FLAIR MR.
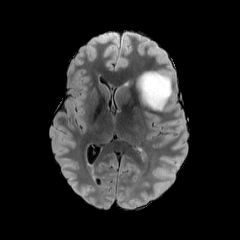
T1-weighted MR.
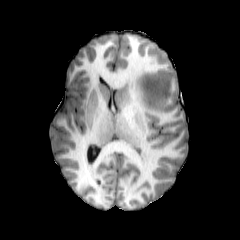
Post-contrast T1-weighted MR.
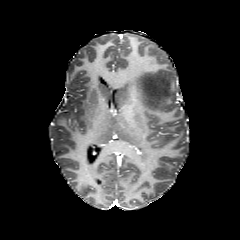
T2-weighted MR.
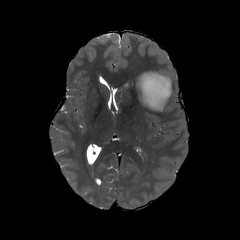
240x240 | Axial slice
The peritumoral edema is bounded by {"x1": 136, "y1": 70, "x2": 174, "y2": 111}.